Slice index 82, Head
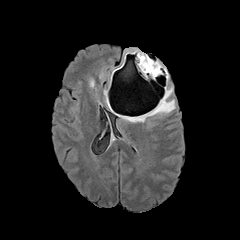
FLAIR MR.
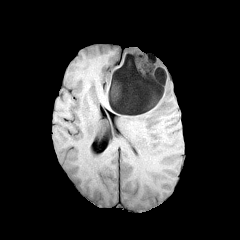
T1-weighted MR of the same slice.
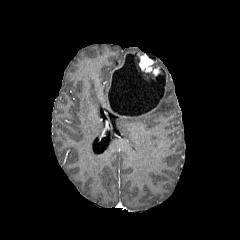
Post-contrast T1-weighted magnetic resonance of the same slice.
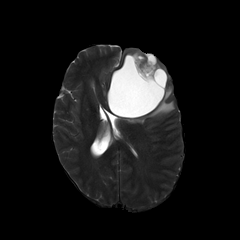
Same slice, T2-weighted magnetic resonance.
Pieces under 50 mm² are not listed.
peritumoral edema: 148 88 174 115, 129 115 144 121 | necrotic tumor core: 108 54 167 117 | enhancing tumor: 139 54 153 72, 110 52 134 87